Head
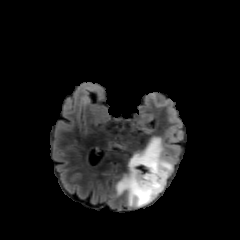
FLAIR MRI.
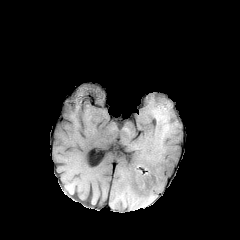
T1-weighted magnetic resonance.
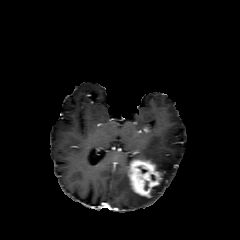
Same slice, post-contrast T1-weighted MR.
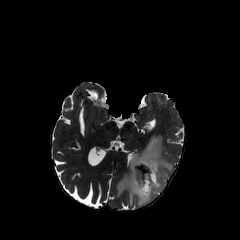
T2-weighted MRI of the same slice.
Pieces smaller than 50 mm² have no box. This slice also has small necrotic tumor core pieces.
The largest peritumoral edema region is bounded by (x1=116, y1=137, x2=173, y2=207). The enhancing tumor appears at (x1=128, y1=159, x2=162, y2=197).